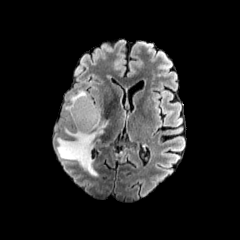
FLAIR MRI.
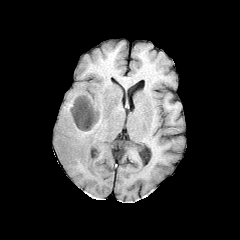
T1-weighted magnetic resonance of the same slice.
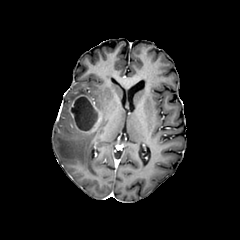
Same slice, post-contrast T1-weighted MR.
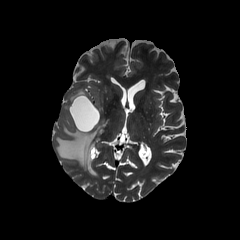
T2-weighted magnetic resonance.
Brain. Axial plane.
peritumoral_edema:
  - (65,90,88,113)
  - (57,120,108,176)
enhancing_tumor:
  - (69,95,100,132)
necrotic_tumor_core:
  - (71,97,97,130)